FLAIR MRI.
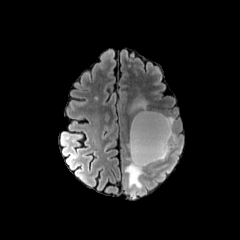
T1-weighted MR image.
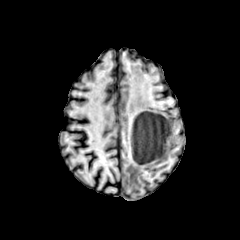
Post-contrast T1-weighted magnetic resonance.
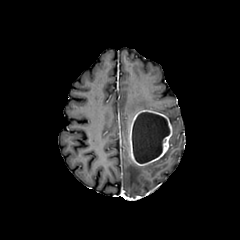
T2-weighted MRI.
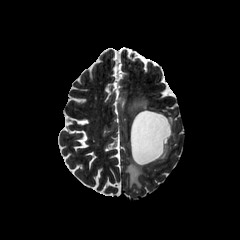
Brain, Axial view, 240x240
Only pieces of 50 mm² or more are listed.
Findings:
• enhancing tumor: [129, 110, 172, 166]
• peritumoral edema: [125, 156, 144, 188], [128, 88, 146, 114]
• necrotic tumor core: [132, 112, 169, 163]